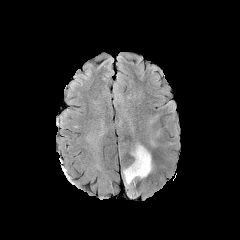
FLAIR MR image.
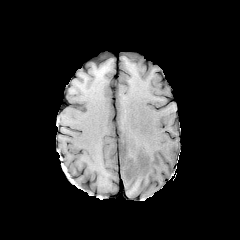
T1-weighted MR of the same slice.
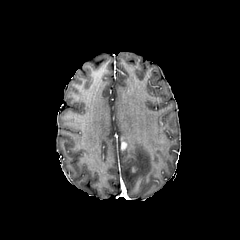
Same slice, post-contrast T1-weighted MR.
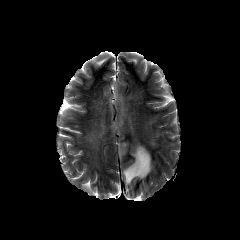
T2-weighted MR image.
Brain, Axial plane
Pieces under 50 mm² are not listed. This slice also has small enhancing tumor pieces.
peritumoral edema: <bbox>122, 143, 152, 196</bbox>